Head; Axial plane; Image size 240x240
FLAIR MR.
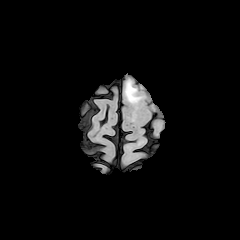
T1-weighted MR.
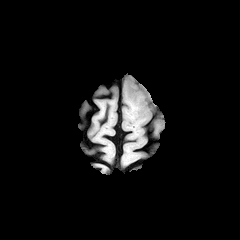
Post-contrast T1-weighted MRI.
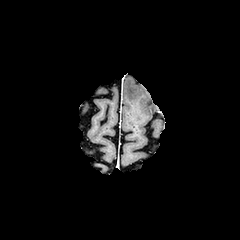
T2-weighted MR image.
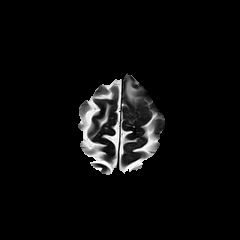
peritumoral edema at 125,79,140,102